FLAIR MRI.
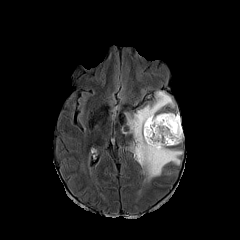
T1-weighted MR image.
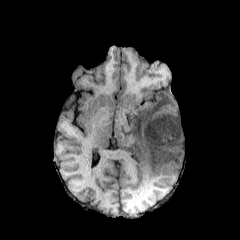
Post-contrast T1-weighted MRI.
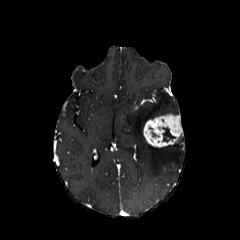
T2-weighted magnetic resonance.
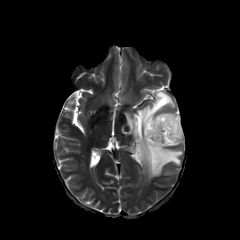
240x240 px, Axial view, Brain
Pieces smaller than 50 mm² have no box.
peritumoral edema: 122 91 182 181
necrotic tumor core: 163 127 175 141
enhancing tumor: 143 113 183 147